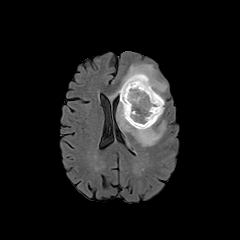
FLAIR MRI.
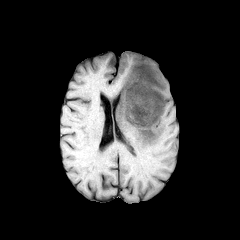
Same slice, T1-weighted magnetic resonance.
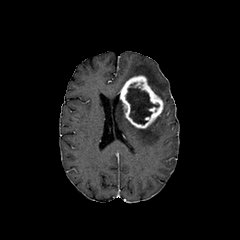
Post-contrast T1-weighted magnetic resonance.
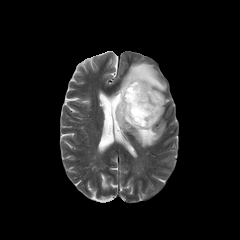
T2-weighted MR.
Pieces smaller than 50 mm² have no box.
enhancing tumor — 119,75,163,128
peritumoral edema — 116,100,165,146; 108,63,166,104
necrotic tumor core — 126,83,158,124